Axial plane, Slice 65 of 155, Head
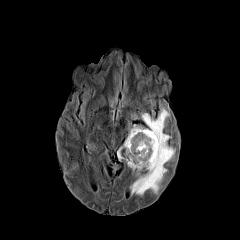
FLAIR MRI.
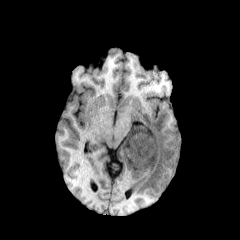
T1-weighted MR.
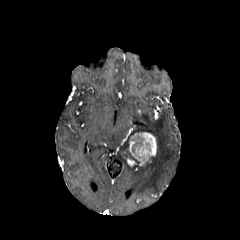
Same slice, post-contrast T1-weighted MR.
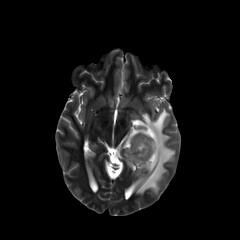
Same slice, T2-weighted magnetic resonance.
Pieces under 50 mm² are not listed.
enhancing_tumor:
  - <box>129,132,156,166</box>
  - <box>127,158,136,166</box>
peritumoral_edema:
  - <box>117,108,175,195</box>